Head | Image width 240 mm, 1.00 mm slice spacing | Axial view
FLAIR MR.
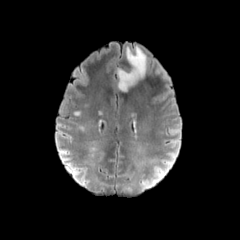
T1-weighted MRI.
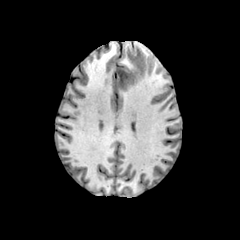
Post-contrast T1-weighted MRI.
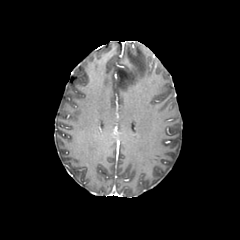
T2-weighted magnetic resonance.
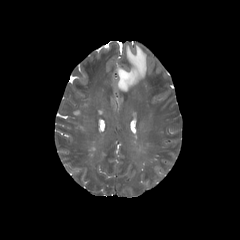
peritumoral edema: bounding box [x1=117, y1=46, x2=146, y2=90]